FLAIR MR image.
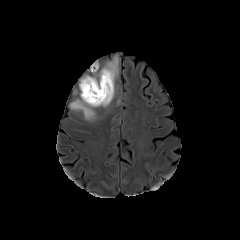
T1-weighted magnetic resonance.
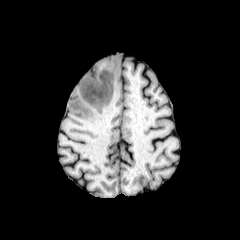
Post-contrast T1-weighted magnetic resonance.
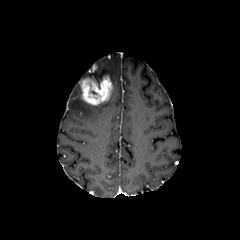
T2-weighted MRI.
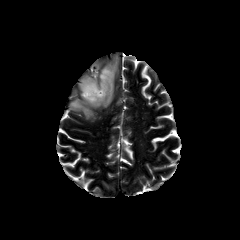
240x240 px; Head
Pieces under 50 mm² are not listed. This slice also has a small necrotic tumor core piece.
peritumoral edema at (69,55,119,120)
enhancing tumor at (80,76,112,105)